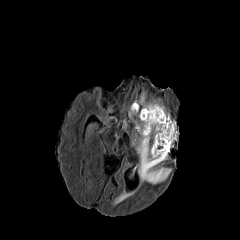
FLAIR MRI.
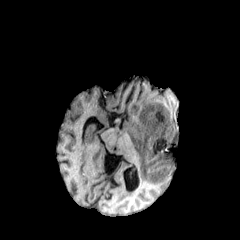
Same slice, T1-weighted MR.
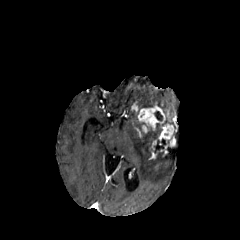
Post-contrast T1-weighted magnetic resonance of the same slice.
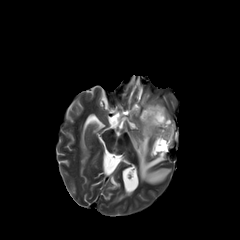
T2-weighted MR image.
Brain.
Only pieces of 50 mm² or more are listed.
Findings:
* peritumoral edema: [139,94,165,113], [132,122,171,184]
* enhancing tumor: [137,104,176,158], [131,103,138,112]
* necrotic tumor core: [154,111,162,120], [154,139,166,153]